Axial plane | 240x240 | Slice index 102 | Brain
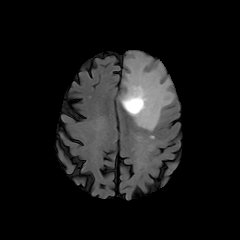
FLAIR MR.
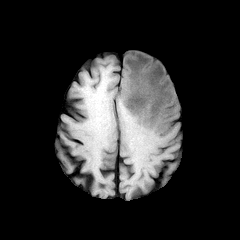
Same slice, T1-weighted MR.
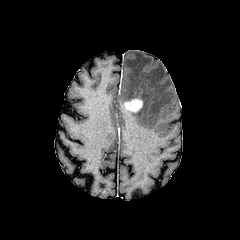
Post-contrast T1-weighted magnetic resonance.
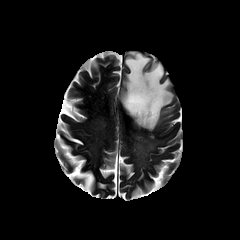
T2-weighted MR.
peritumoral edema: region(120, 52, 174, 130) | enhancing tumor: region(124, 97, 142, 112)